FLAIR MR image.
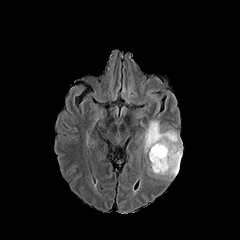
T1-weighted MR.
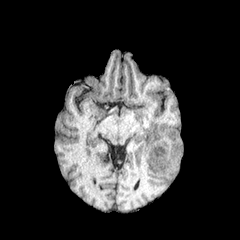
Post-contrast T1-weighted MRI.
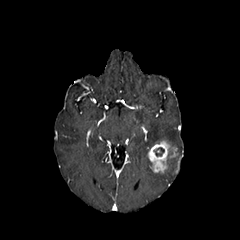
T2-weighted magnetic resonance.
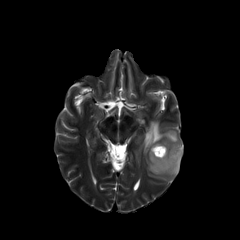
240x240. Brain.
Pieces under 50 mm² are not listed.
enhancing tumor: <box>148,140,178,173</box>
necrotic tumor core: <box>154,147,164,156</box>
peritumoral edema: <box>143,120,182,177</box>